FLAIR magnetic resonance.
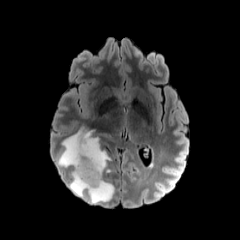
T1-weighted magnetic resonance.
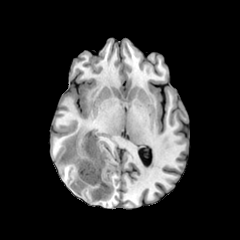
Post-contrast T1-weighted MRI.
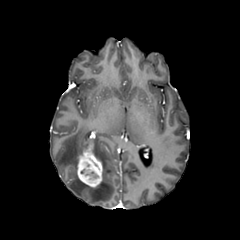
T2-weighted MR.
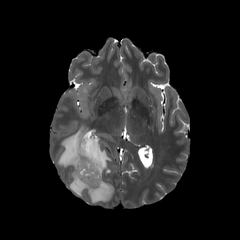
Head, Image size 240x240
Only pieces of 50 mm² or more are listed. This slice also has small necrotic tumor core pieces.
<segmentation>
  <enhancing_tumor>(77, 141, 102, 187)</enhancing_tumor>
  <peritumoral_edema>(57, 127, 114, 203)</peritumoral_edema>
</segmentation>